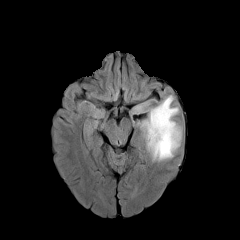
FLAIR MRI.
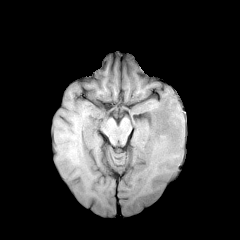
T1-weighted MR image.
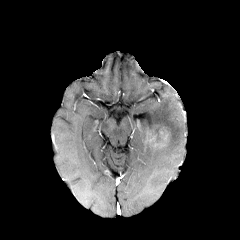
Same slice, post-contrast T1-weighted MR image.
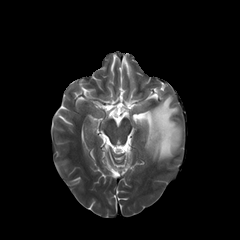
T2-weighted MR.
Head
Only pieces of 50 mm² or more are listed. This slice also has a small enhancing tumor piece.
peritumoral edema — (x1=130, y1=101, x2=150, y2=114), (x1=138, y1=95, x2=181, y2=161)